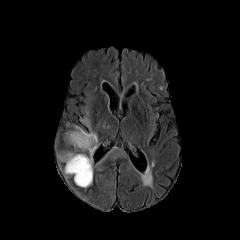
FLAIR MR image.
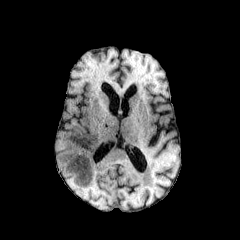
T1-weighted MR image.
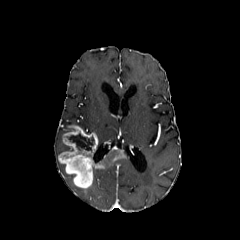
Post-contrast T1-weighted magnetic resonance.
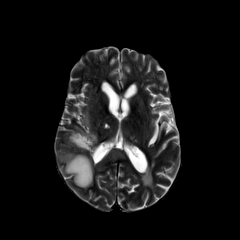
T2-weighted MR.
Brain.
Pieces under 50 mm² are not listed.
Annotated regions:
* necrotic tumor core: region(67, 133, 94, 153)
* enhancing tumor: region(58, 125, 127, 188)
* peritumoral edema: region(79, 114, 92, 133)